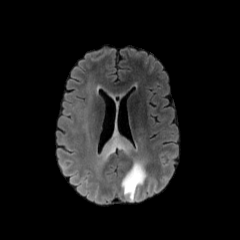
FLAIR MRI.
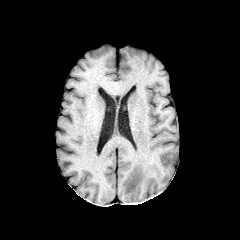
Same slice, T1-weighted MR image.
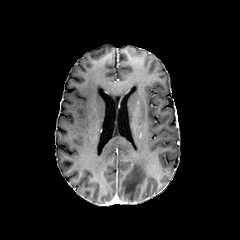
Same slice, post-contrast T1-weighted MR image.
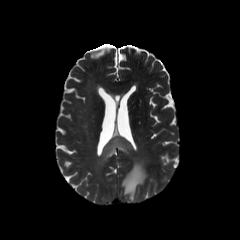
Same slice, T2-weighted MRI.
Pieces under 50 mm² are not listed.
Findings:
* peritumoral edema: rect(102, 122, 130, 158); rect(122, 158, 148, 201)